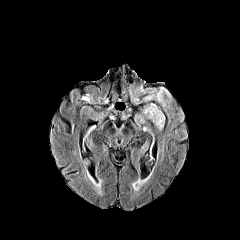
FLAIR magnetic resonance.
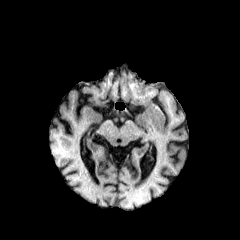
T1-weighted magnetic resonance of the same slice.
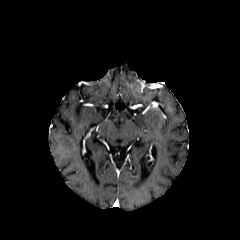
Post-contrast T1-weighted magnetic resonance.
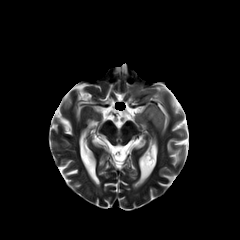
Same slice, T2-weighted MR.
240x240 px. Axial view.
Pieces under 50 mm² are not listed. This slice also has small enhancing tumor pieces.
peritumoral edema: [146,107,164,129]